Image size 240x240
FLAIR magnetic resonance.
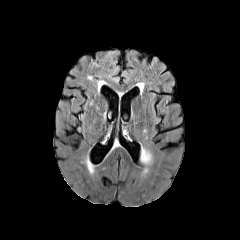
T1-weighted magnetic resonance.
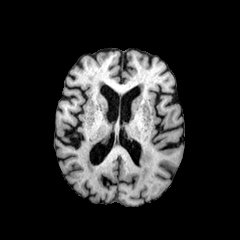
Post-contrast T1-weighted MR.
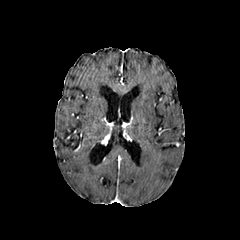
T2-weighted MRI.
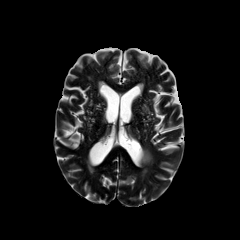
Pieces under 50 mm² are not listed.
peritumoral edema: rect(140, 147, 152, 164)